FLAIR magnetic resonance.
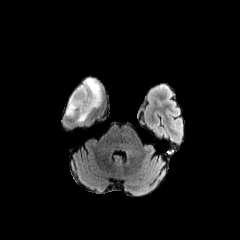
T1-weighted magnetic resonance.
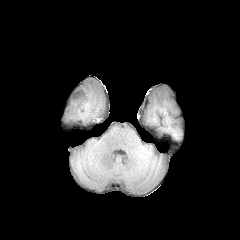
Post-contrast T1-weighted MRI.
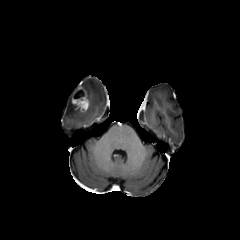
T2-weighted magnetic resonance.
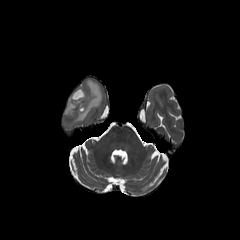
240x240 px | Brain | Axial slice
The peritumoral edema is located at 65 78 102 122. The necrotic tumor core lies within 74 90 84 98. The enhancing tumor is at 71 86 89 112.